FLAIR magnetic resonance.
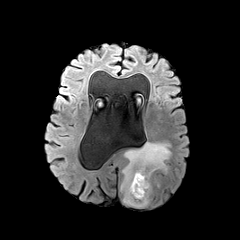
T1-weighted MRI.
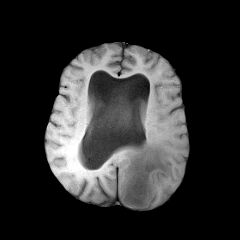
Post-contrast T1-weighted MR.
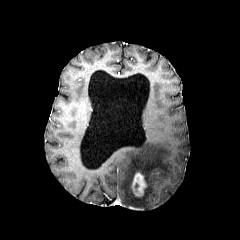
T2-weighted MRI.
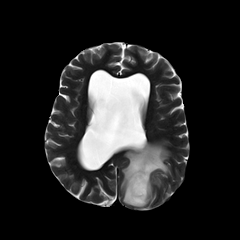
Head, 240x240 px
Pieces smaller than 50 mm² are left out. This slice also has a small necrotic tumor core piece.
enhancing tumor: 131 172 147 196 | peritumoral edema: 121 142 170 207